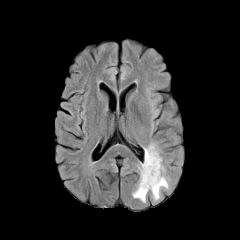
FLAIR magnetic resonance.
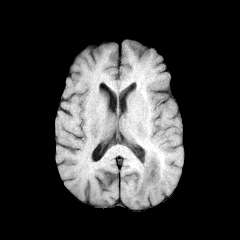
Same slice, T1-weighted MR.
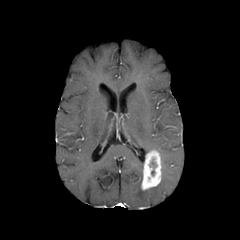
Post-contrast T1-weighted MR image.
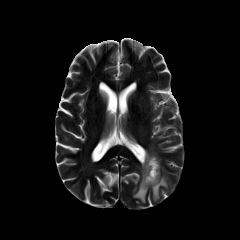
Same slice, T2-weighted MR.
Head, 240x240, Axial view
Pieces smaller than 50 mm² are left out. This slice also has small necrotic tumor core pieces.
{
  "peritumoral_edema": [
    "[x1=132, y1=157, x2=169, y2=202]",
    "[x1=144, y1=143, x2=158, y2=155]"
  ],
  "enhancing_tumor": [
    "[x1=141, y1=150, x2=161, y2=190]"
  ]
}